FLAIR magnetic resonance.
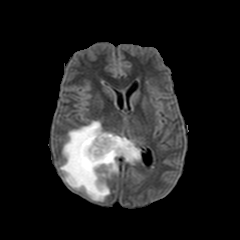
T1-weighted magnetic resonance.
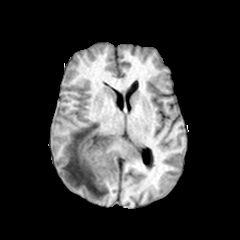
Post-contrast T1-weighted MR.
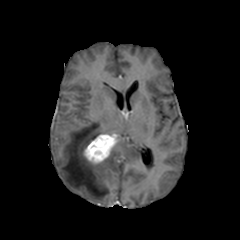
T2-weighted MRI.
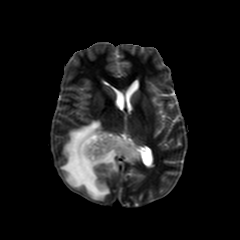
{
  "enhancing_tumor": [
    {"x1": 83, "y1": 133, "x2": 119, "y2": 164}
  ],
  "peritumoral_edema": [
    {"x1": 60, "y1": 120, "x2": 140, "y2": 201}
  ]
}